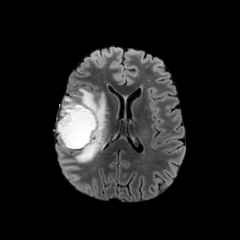
FLAIR magnetic resonance.
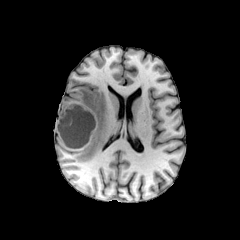
T1-weighted MRI.
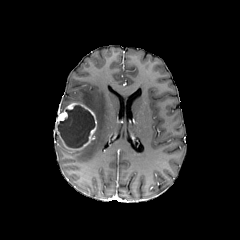
Post-contrast T1-weighted MR image.
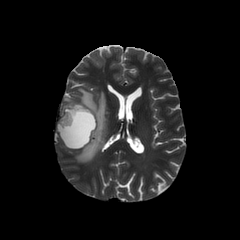
Same slice, T2-weighted MR.
Head
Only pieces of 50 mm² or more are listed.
peritumoral edema: (left=60, top=96, right=76, bottom=112), (left=73, top=88, right=106, bottom=162) | necrotic tumor core: (left=57, top=105, right=95, bottom=147) | enhancing tumor: (left=56, top=102, right=97, bottom=150)